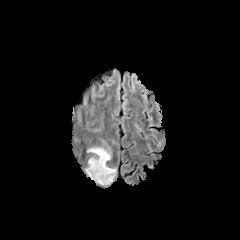
FLAIR MR image.
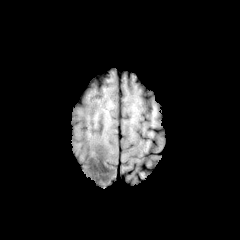
Same slice, T1-weighted MR image.
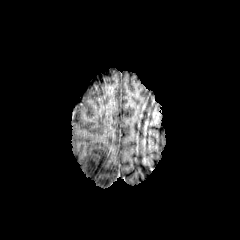
Post-contrast T1-weighted MR image.
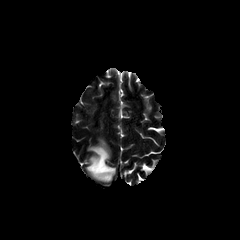
T2-weighted MR image.
Head; Axial view
peritumoral edema: bbox(86, 142, 115, 184)